FLAIR magnetic resonance.
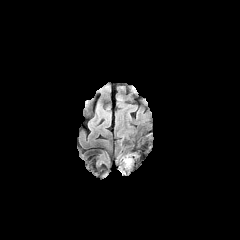
T1-weighted MR image.
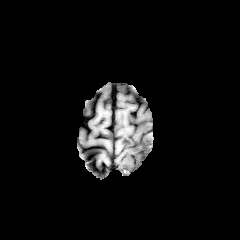
Post-contrast T1-weighted MR image.
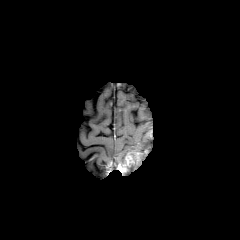
T2-weighted MRI.
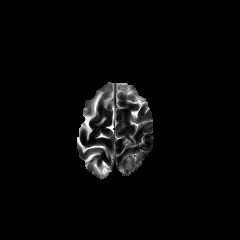
Brain
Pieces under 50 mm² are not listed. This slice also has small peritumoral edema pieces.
enhancing tumor: box(124, 153, 133, 166)